FLAIR MR.
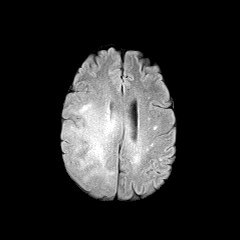
T1-weighted MR image.
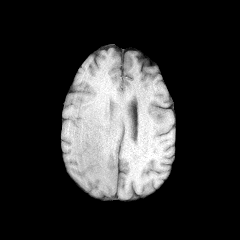
Post-contrast T1-weighted MRI.
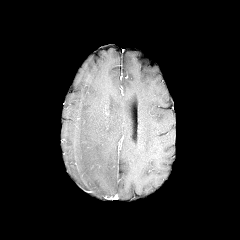
T2-weighted MR image.
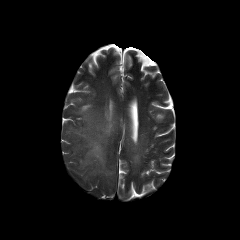
Axial view. Brain. 240x240.
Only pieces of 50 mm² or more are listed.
peritumoral edema = box(68, 102, 121, 182)